FLAIR magnetic resonance.
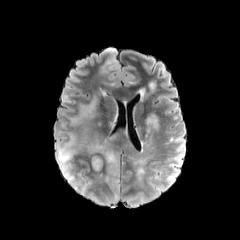
T1-weighted magnetic resonance.
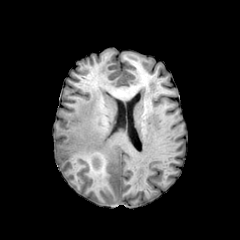
Post-contrast T1-weighted magnetic resonance.
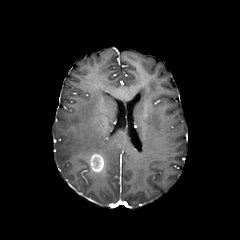
T2-weighted magnetic resonance.
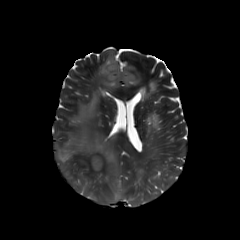
Brain. 240x240 px. Axial slice.
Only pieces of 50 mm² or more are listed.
peritumoral edema: bounding box 70,98,96,123; 81,140,117,175; 56,134,75,180; 112,179,118,201
enhancing tumor: bounding box 90,154,103,171